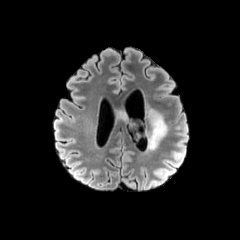
FLAIR MR.
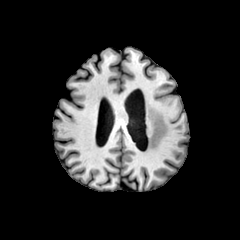
T1-weighted magnetic resonance.
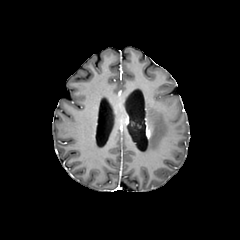
Post-contrast T1-weighted magnetic resonance.
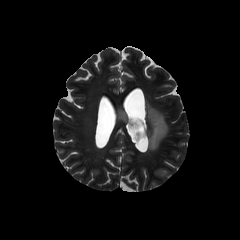
Same slice, T2-weighted MR.
Head, Axial slice
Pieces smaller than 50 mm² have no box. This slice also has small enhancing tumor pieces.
peritumoral edema: bounding box 118,108,127,120; 147,107,168,150